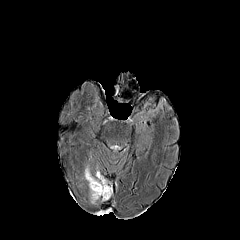
FLAIR MRI.
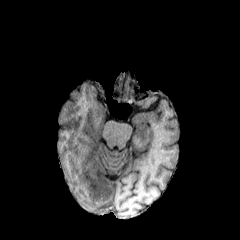
Same slice, T1-weighted MR.
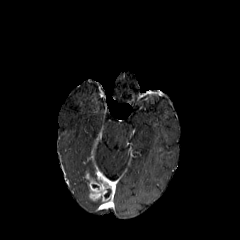
Post-contrast T1-weighted MR image.
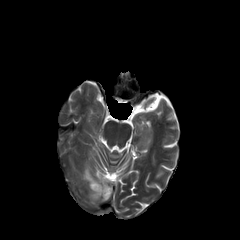
T2-weighted magnetic resonance.
240x240 px
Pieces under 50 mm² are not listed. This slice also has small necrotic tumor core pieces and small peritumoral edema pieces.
enhancing tumor: 85, 166, 112, 201